Head, Slice index 117
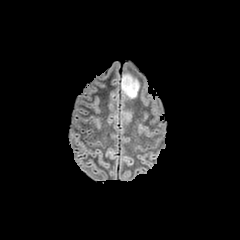
FLAIR MRI.
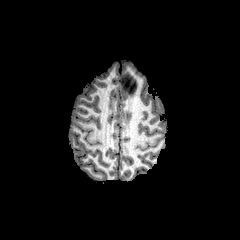
T1-weighted MRI of the same slice.
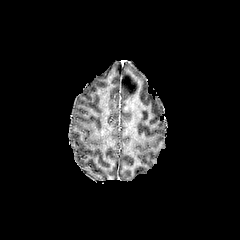
Post-contrast T1-weighted MRI.
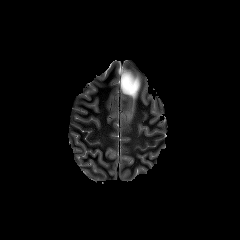
T2-weighted magnetic resonance.
<segmentation>
  <peritumoral_edema>122,72,139,98</peritumoral_edema>
</segmentation>